FLAIR MRI.
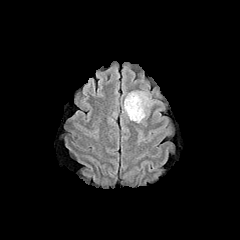
T1-weighted magnetic resonance.
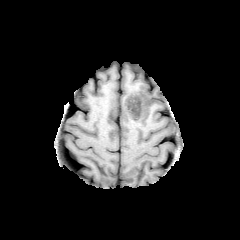
Post-contrast T1-weighted MRI.
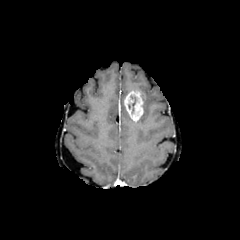
T2-weighted magnetic resonance.
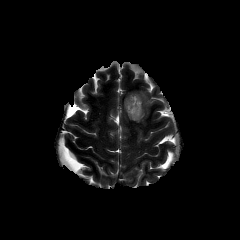
240x240 px; Brain
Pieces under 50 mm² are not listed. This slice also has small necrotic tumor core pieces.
Findings:
* enhancing tumor: {"x1": 124, "y1": 91, "x2": 143, "y2": 121}
* peritumoral edema: {"x1": 136, "y1": 91, "x2": 153, "y2": 122}